240x240 | Axial view
FLAIR MR.
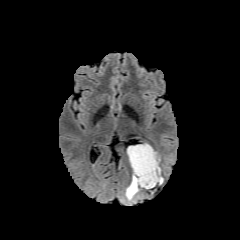
T1-weighted MR.
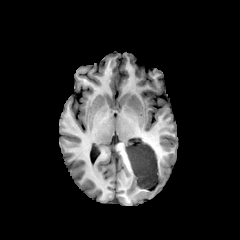
Post-contrast T1-weighted MRI.
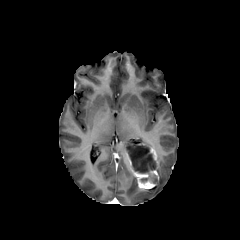
T2-weighted MR image.
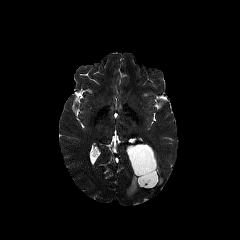
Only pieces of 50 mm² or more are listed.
The largest necrotic tumor core region appears at x1=127 y1=145 x2=156 y2=173. The largest enhancing tumor region lies within x1=127 y1=147 x2=158 y2=188. The 2 largest peritumoral edema regions are located at x1=125 y1=175 x2=143 y2=200, x1=157 y1=166 x2=163 y2=184.